FLAIR MRI.
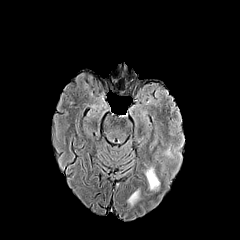
T1-weighted MR.
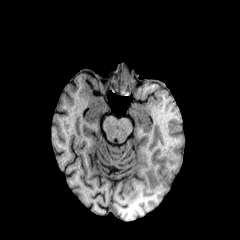
Post-contrast T1-weighted MR.
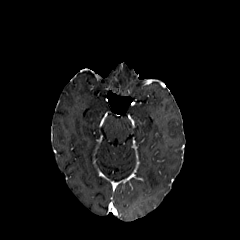
T2-weighted magnetic resonance.
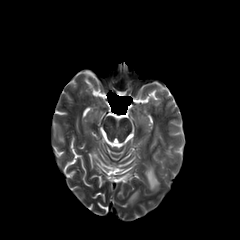
Axial view; Brain
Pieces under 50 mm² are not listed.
The 2 largest peritumoral edema regions appear at <bbox>145, 167, 159, 190</bbox>, <bbox>128, 190, 139, 204</bbox>.